FLAIR magnetic resonance.
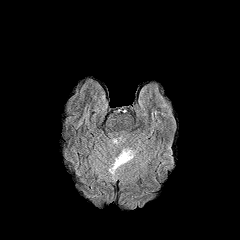
T1-weighted MR image.
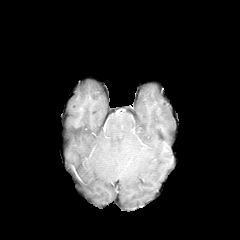
Post-contrast T1-weighted MR.
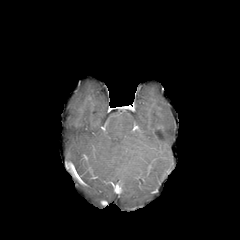
T2-weighted MR image.
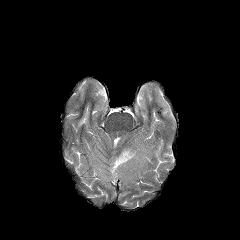
Head.
<segmentation>
  <peritumoral_edema>(108, 148, 137, 179)</peritumoral_edema>
</segmentation>